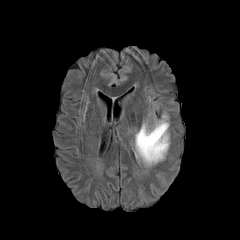
FLAIR magnetic resonance.
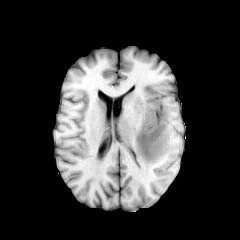
T1-weighted MR.
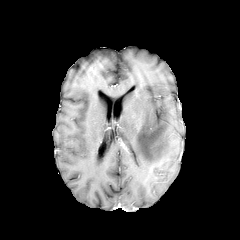
Post-contrast T1-weighted MR of the same slice.
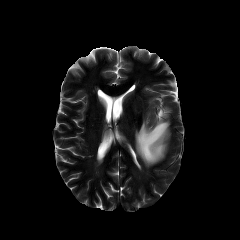
T2-weighted MR of the same slice.
Image size 240x240 | Brain
peritumoral_edema:
  - (x1=135, y1=111, x2=169, y2=166)